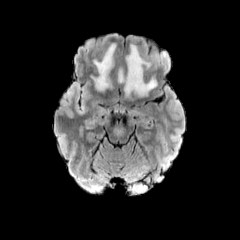
FLAIR magnetic resonance.
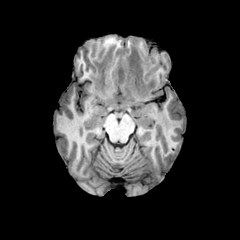
T1-weighted magnetic resonance of the same slice.
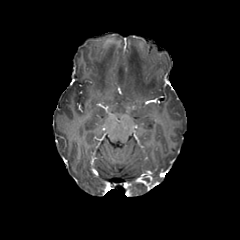
Post-contrast T1-weighted MRI.
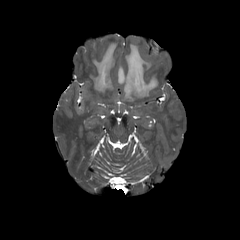
T2-weighted MR image of the same slice.
Axial slice. Head. 240x240 px.
peritumoral edema: bbox=[68, 83, 90, 115]; bbox=[118, 44, 157, 98]; bbox=[91, 43, 115, 91]